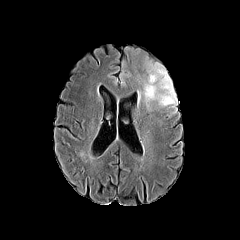
FLAIR MR image.
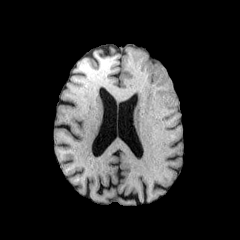
T1-weighted MR.
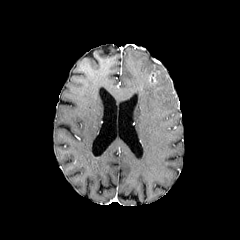
Same slice, post-contrast T1-weighted MRI.
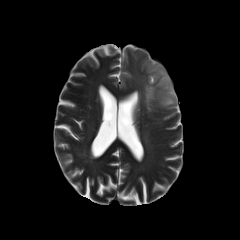
T2-weighted MRI.
240x240 px; Brain
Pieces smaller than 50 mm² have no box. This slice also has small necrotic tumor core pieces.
peritumoral_edema:
  - [140,60,177,110]
enhancing_tumor:
  - [149,71,159,83]